FLAIR MRI.
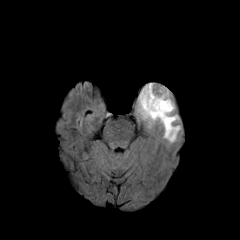
T1-weighted MR.
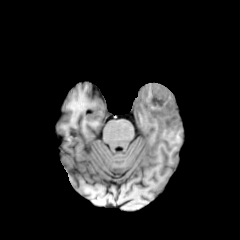
Post-contrast T1-weighted magnetic resonance.
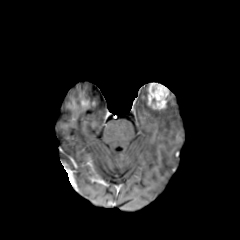
T2-weighted magnetic resonance.
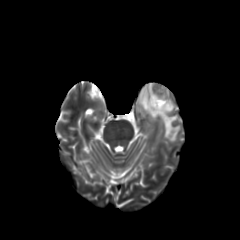
Brain
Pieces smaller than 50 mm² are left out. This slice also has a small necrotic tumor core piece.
peritumoral_edema:
  - x1=134, y1=83, x2=179, y2=140
enhancing_tumor:
  - x1=147, y1=83, x2=169, y2=109